FLAIR MRI.
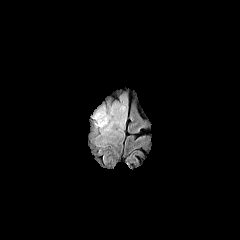
T1-weighted MR image.
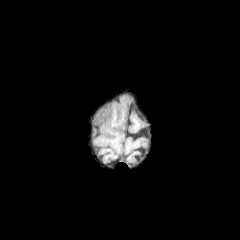
Post-contrast T1-weighted MR.
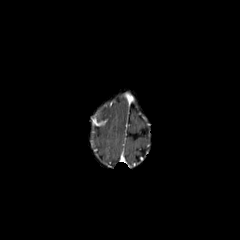
T2-weighted magnetic resonance.
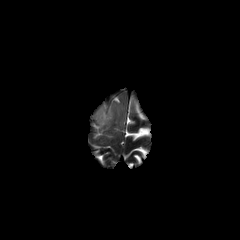
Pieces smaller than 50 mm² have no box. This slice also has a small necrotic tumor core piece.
The enhancing tumor is located at [93,114,107,126]. The peritumoral edema is located at [97,104,126,135].